Image size 240x240, Axial slice
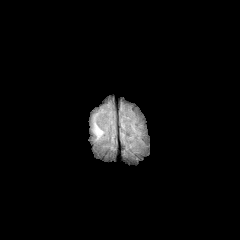
FLAIR MRI.
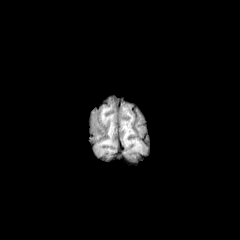
T1-weighted MRI.
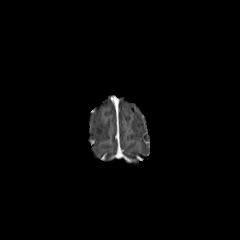
Post-contrast T1-weighted MR image of the same slice.
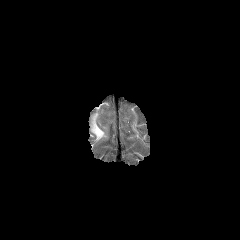
T2-weighted magnetic resonance.
{
  "peritumoral_edema": [
    "x1=94 y1=124 x2=102 y2=137"
  ]
}